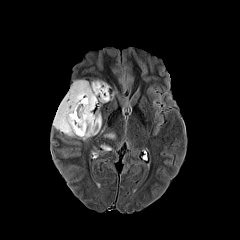
FLAIR magnetic resonance.
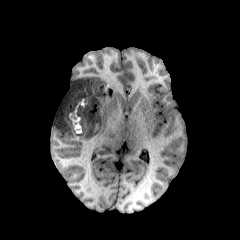
T1-weighted magnetic resonance.
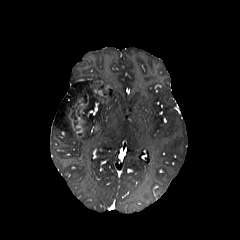
Post-contrast T1-weighted magnetic resonance of the same slice.
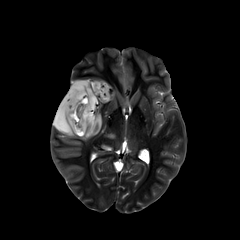
T2-weighted MRI.
Head.
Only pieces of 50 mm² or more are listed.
necrotic tumor core = {"x1": 70, "y1": 94, "x2": 106, "y2": 134}, {"x1": 94, "y1": 82, "x2": 109, "y2": 96}
peritumoral edema = {"x1": 53, "y1": 80, "x2": 101, "y2": 140}
enhancing tumor = {"x1": 94, "y1": 87, "x2": 107, "y2": 97}, {"x1": 68, "y1": 109, "x2": 85, "y2": 137}, {"x1": 77, "y1": 95, "x2": 88, "y2": 113}